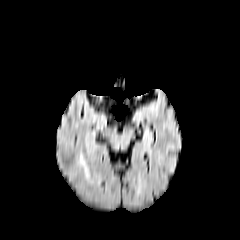
FLAIR magnetic resonance.
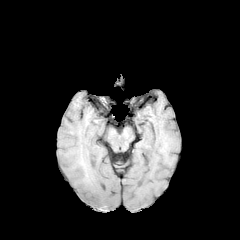
T1-weighted MRI of the same slice.
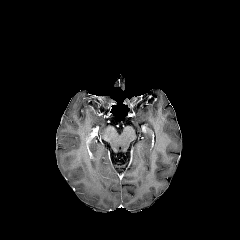
Post-contrast T1-weighted MR.
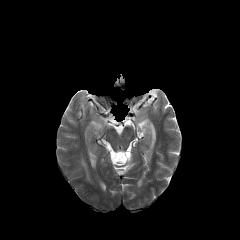
T2-weighted MR.
240x240 px
peritumoral edema: bounding box [81,160,88,176]